Axial slice. 240x240.
FLAIR MR image.
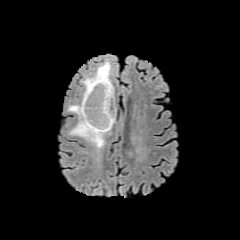
T1-weighted MR image.
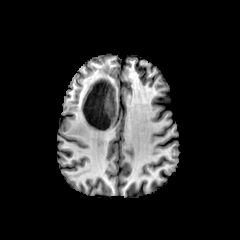
Post-contrast T1-weighted MR.
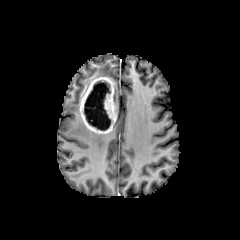
T2-weighted MR.
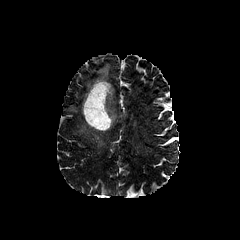
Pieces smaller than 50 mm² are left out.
Annotated regions:
- necrotic tumor core: (x1=84, y1=81, x2=111, y2=130)
- enhancing tumor: (x1=80, y1=77, x2=116, y2=133)
- peritumoral edema: (x1=81, y1=62, x2=110, y2=93), (x1=67, y1=105, x2=110, y2=149)